Slice 87/155
FLAIR MR.
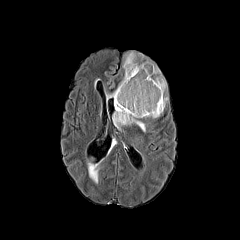
T1-weighted MR.
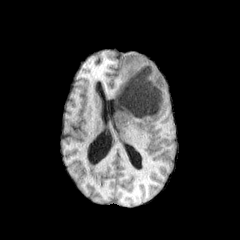
Post-contrast T1-weighted MRI.
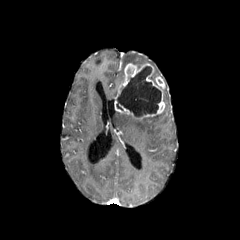
T2-weighted MR.
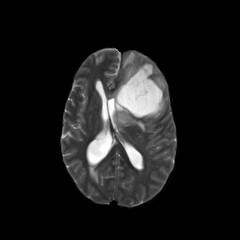
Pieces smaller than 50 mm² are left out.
enhancing tumor: bbox=[114, 63, 165, 118]
peritumoral edema: bbox=[122, 52, 140, 68]; bbox=[88, 163, 99, 183]; bbox=[106, 88, 117, 98]; bbox=[112, 111, 145, 131]
necrotic tumor core: bbox=[116, 66, 161, 117]; bbox=[149, 70, 157, 84]